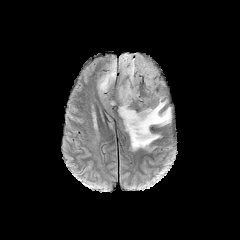
FLAIR MR image.
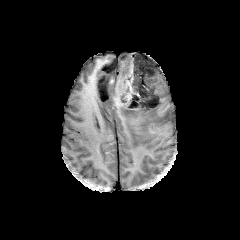
Same slice, T1-weighted MRI.
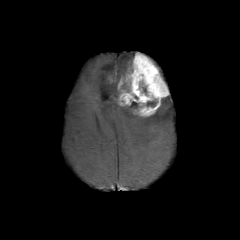
Post-contrast T1-weighted magnetic resonance of the same slice.
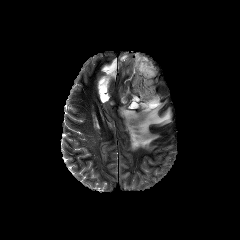
T2-weighted MR image.
240x240. Brain. Axial plane.
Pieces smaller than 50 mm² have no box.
The largest necrotic tumor core region is bounded by <box>131,101,138,109</box>. The enhancing tumor appears at <box>118,53,168,116</box>. 3 peritumoral edema regions are bounded by <box>119,100,171,150</box>, <box>98,59,116,102</box>, <box>119,54,133,75</box>.